Slice 61 of 155 | 240x240
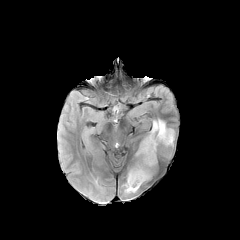
FLAIR magnetic resonance.
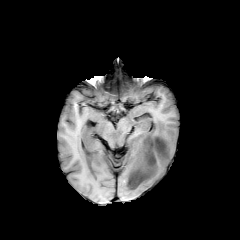
T1-weighted MRI of the same slice.
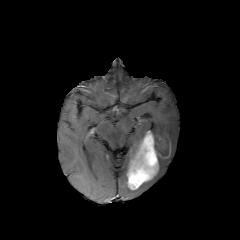
Post-contrast T1-weighted MRI of the same slice.
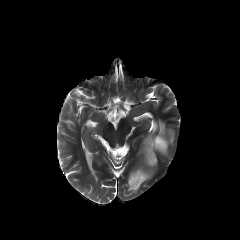
T2-weighted MR image.
The enhancing tumor appears at bbox=[127, 131, 170, 189]. The necrotic tumor core is bounded by bbox=[154, 135, 168, 155]. 2 peritumoral edema regions are bounded by bbox=[150, 120, 173, 144]; bbox=[125, 184, 137, 192].